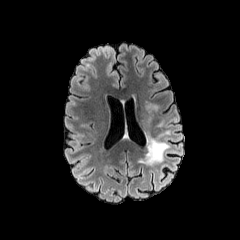
FLAIR MRI.
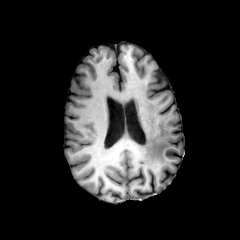
T1-weighted magnetic resonance of the same slice.
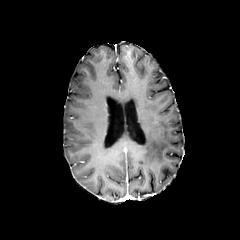
Post-contrast T1-weighted magnetic resonance.
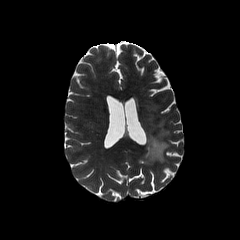
Same slice, T2-weighted MR.
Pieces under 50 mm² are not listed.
The largest peritumoral edema region is at rect(144, 131, 169, 164).